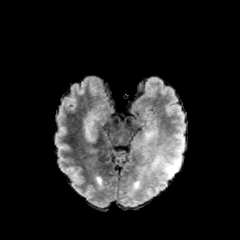
FLAIR MR image.
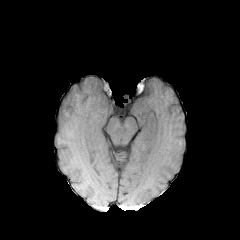
T1-weighted magnetic resonance.
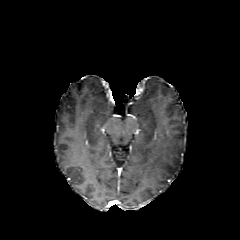
Post-contrast T1-weighted MR.
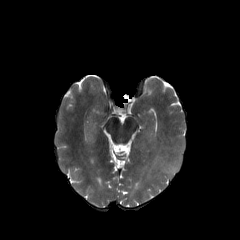
Same slice, T2-weighted MR image.
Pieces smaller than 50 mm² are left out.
<segmentation>
  <peritumoral_edema><box>162,154,183,175</box></peritumoral_edema>
</segmentation>